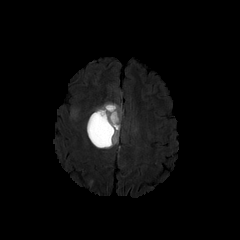
FLAIR MRI.
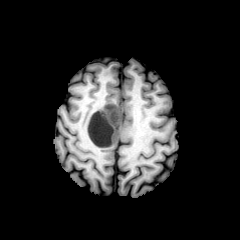
T1-weighted magnetic resonance.
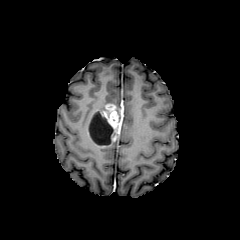
Post-contrast T1-weighted MR.
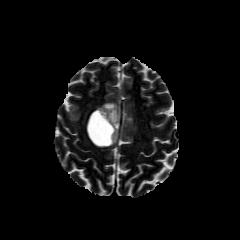
Same slice, T2-weighted magnetic resonance.
Brain | Axial view | Image size 240x240
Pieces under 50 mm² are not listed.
necrotic tumor core: region(88, 111, 113, 145) | peritumoral edema: region(95, 102, 121, 110); region(71, 108, 78, 117) | enhancing tumor: region(87, 104, 122, 147)